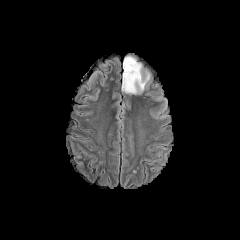
FLAIR magnetic resonance.
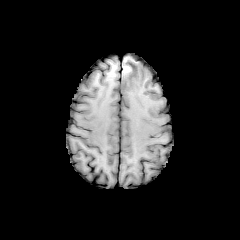
T1-weighted MR image of the same slice.
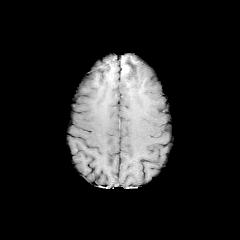
Same slice, post-contrast T1-weighted magnetic resonance.
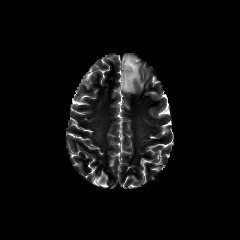
T2-weighted MR.
Brain
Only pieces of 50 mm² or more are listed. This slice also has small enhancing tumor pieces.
- peritumoral edema: <box>121,56,150,94</box>
- necrotic tumor core: <box>123,59,134,87</box>